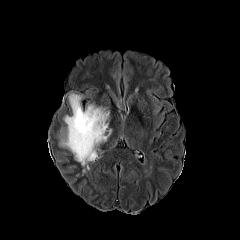
FLAIR MR image.
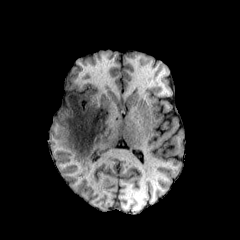
T1-weighted magnetic resonance of the same slice.
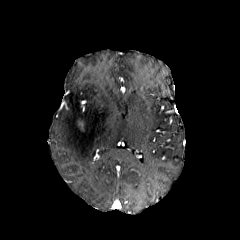
Same slice, post-contrast T1-weighted MR.
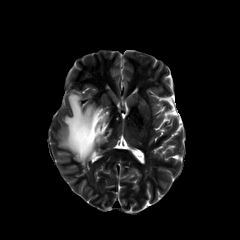
T2-weighted MR image.
Head; 240x240
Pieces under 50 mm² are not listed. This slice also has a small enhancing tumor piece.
peritumoral edema at 59,93,111,170